FLAIR magnetic resonance.
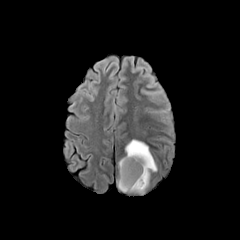
T1-weighted magnetic resonance.
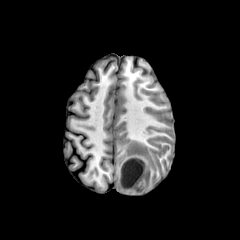
Post-contrast T1-weighted MR image.
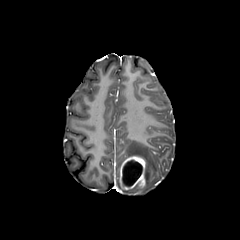
T2-weighted MR image.
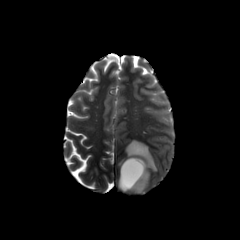
Head.
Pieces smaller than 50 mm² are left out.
peritumoral edema at <bbox>118, 140, 157, 188</bbox>
necrotic tumor core at <bbox>122, 160, 142, 186</bbox>
enhancing tumor at <bbox>119, 156, 145, 190</bbox>